Slice 107 of 155; Brain
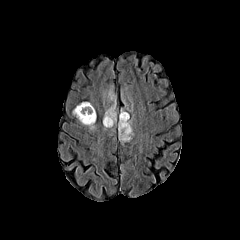
FLAIR MRI.
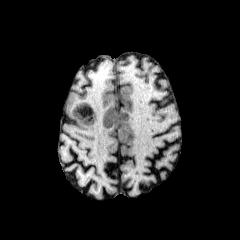
T1-weighted MR image of the same slice.
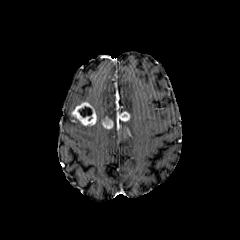
Post-contrast T1-weighted MR of the same slice.
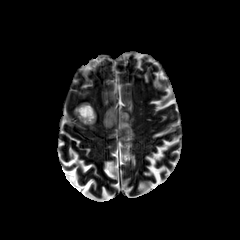
T2-weighted MR image.
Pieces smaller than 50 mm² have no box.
Findings:
- enhancing tumor: (x1=116, y1=104, x2=129, y2=129), (x1=71, y1=102, x2=96, y2=125), (x1=102, y1=116, x2=113, y2=128)
- peritumoral edema: (x1=104, y1=88, x2=115, y2=117), (x1=118, y1=118, x2=133, y2=142)
- necrotic tumor core: (x1=78, y1=106, x2=92, y2=117)